Axial plane | Head
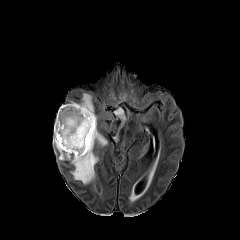
FLAIR MR image.
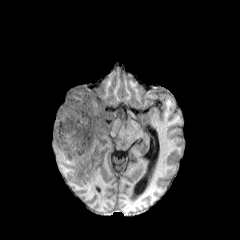
T1-weighted magnetic resonance.
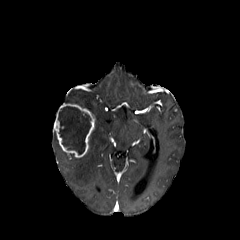
Post-contrast T1-weighted MR.
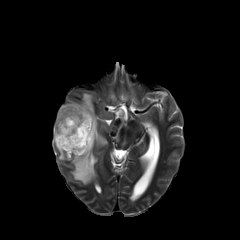
Same slice, T2-weighted MR.
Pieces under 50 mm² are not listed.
necrotic tumor core: l=58, t=106, r=91, b=154
enhancing tumor: l=54, t=103, r=95, b=157
peritumoral edema: l=113, t=107, r=125, b=129; l=128, t=187, r=140, b=203; l=53, t=115, r=107, b=184; l=78, t=93, r=94, b=114